FLAIR MR.
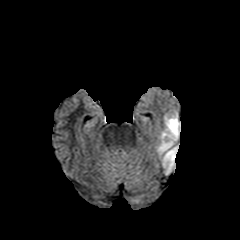
T1-weighted magnetic resonance.
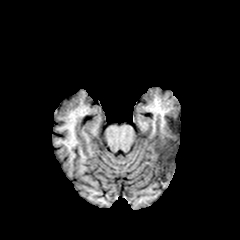
Post-contrast T1-weighted MR.
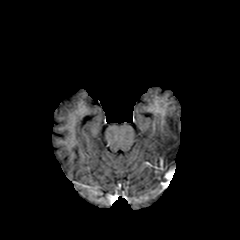
T2-weighted MR.
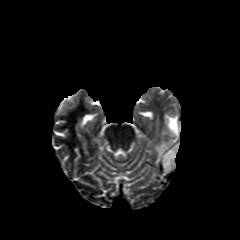
Head
peritumoral edema — 156, 113, 180, 171